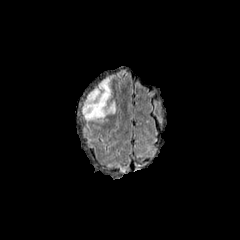
FLAIR magnetic resonance.
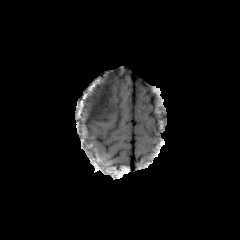
T1-weighted magnetic resonance.
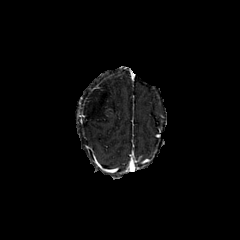
Post-contrast T1-weighted MR.
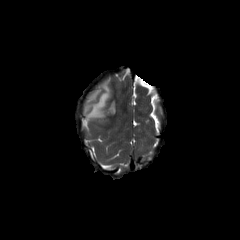
T2-weighted MR.
Image size 240x240, Axial slice
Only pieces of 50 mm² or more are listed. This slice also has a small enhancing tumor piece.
The peritumoral edema is located at bbox=[82, 77, 116, 121].